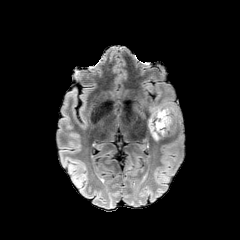
FLAIR MR image.
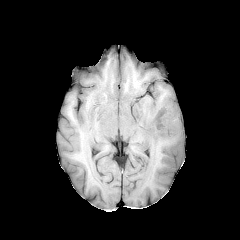
T1-weighted MR image.
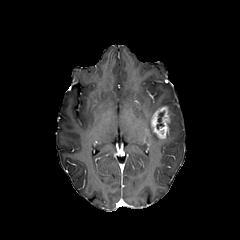
Post-contrast T1-weighted magnetic resonance.
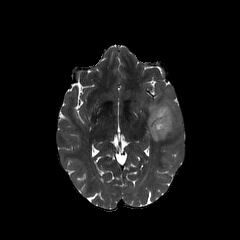
T2-weighted MR.
Axial plane.
<segmentation>
  <necrotic_tumor_core>156, 111, 164, 129</necrotic_tumor_core>
  <enhancing_tumor>150, 106, 170, 139</enhancing_tumor>
  <peritumoral_edema>147, 98, 178, 140</peritumoral_edema>
</segmentation>